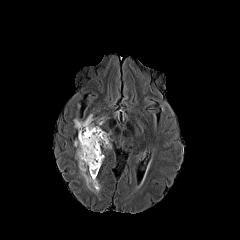
FLAIR MR image.
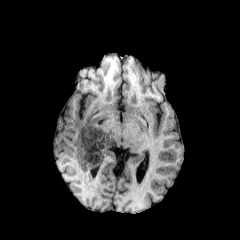
T1-weighted magnetic resonance of the same slice.
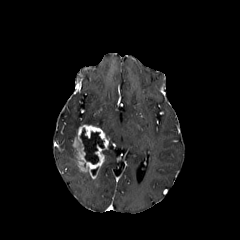
Post-contrast T1-weighted magnetic resonance.
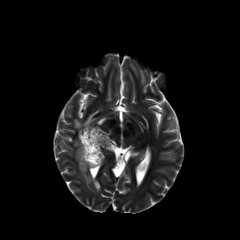
T2-weighted MR.
240x240 px, Axial slice
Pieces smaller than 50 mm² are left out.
{"enhancing_tumor": ["l=73, t=124, r=109, b=178"], "peritumoral_edema": ["l=74, t=114, r=96, b=130", "l=81, t=172, r=100, b=192"], "necrotic_tumor_core": ["l=80, t=128, r=104, b=164"]}